Axial plane, Brain
FLAIR magnetic resonance.
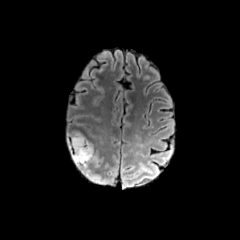
T1-weighted magnetic resonance.
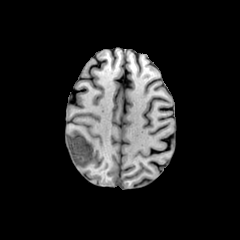
Post-contrast T1-weighted magnetic resonance.
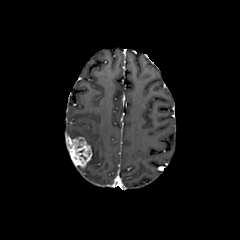
T2-weighted MRI.
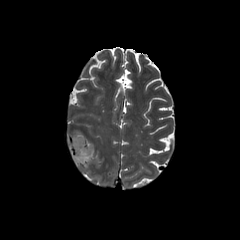
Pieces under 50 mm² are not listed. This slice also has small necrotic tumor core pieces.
enhancing_tumor:
  - region(66, 135, 92, 167)
peritumoral_edema:
  - region(78, 139, 96, 174)
  - region(67, 132, 83, 137)